Axial plane, Slice 67/155, Image covers 240 mm x 240 mm
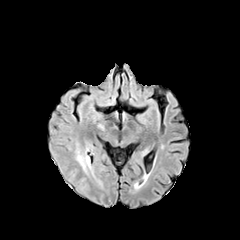
FLAIR MR.
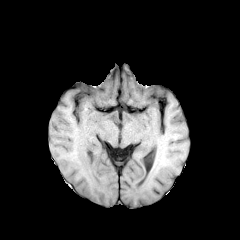
T1-weighted magnetic resonance.
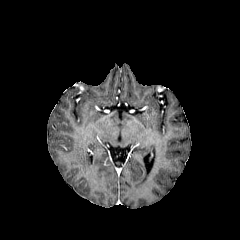
Same slice, post-contrast T1-weighted MR image.
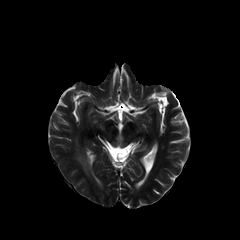
T2-weighted MRI.
peritumoral edema: bounding box rect(77, 154, 90, 169)